FLAIR MR image.
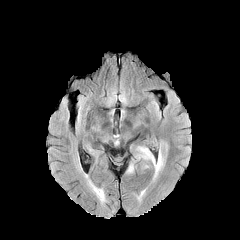
T1-weighted magnetic resonance.
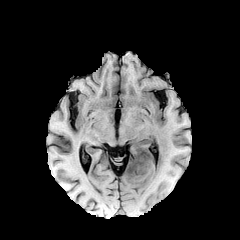
Post-contrast T1-weighted magnetic resonance.
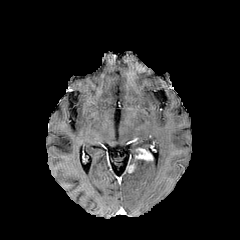
T2-weighted MRI.
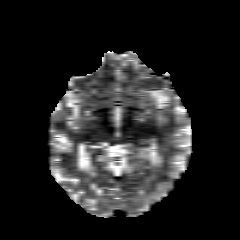
Head; Axial slice
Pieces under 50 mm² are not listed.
The 2 largest peritumoral edema regions are located at {"x1": 146, "y1": 145, "x2": 164, "y2": 179}, {"x1": 136, "y1": 160, "x2": 149, "y2": 168}. The enhancing tumor is bounded by {"x1": 126, "y1": 148, "x2": 153, "y2": 173}.